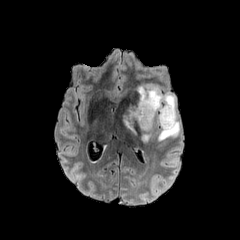
FLAIR MR image.
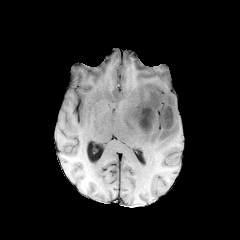
T1-weighted MR.
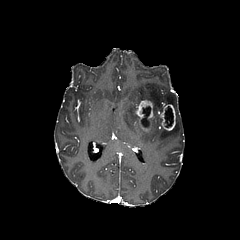
Post-contrast T1-weighted MR of the same slice.
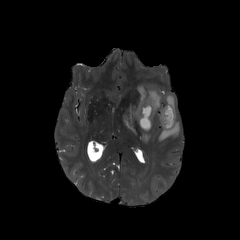
T2-weighted MRI of the same slice.
Head, Axial view, 240x240 px
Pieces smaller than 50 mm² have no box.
enhancing_tumor:
  - (x1=159, y1=104, x2=175, y2=131)
  - (x1=135, y1=100, x2=153, y2=130)
necrotic_tumor_core:
  - (x1=164, y1=106, x2=173, y2=127)
  - (x1=141, y1=106, x2=150, y2=127)
peritumoral_edema:
  - (x1=123, y1=106, x2=137, y2=134)
  - (x1=138, y1=85, x2=180, y2=140)
  - (x1=141, y1=131, x2=150, y2=142)